Slice 57/155; Axial view; Brain
FLAIR magnetic resonance.
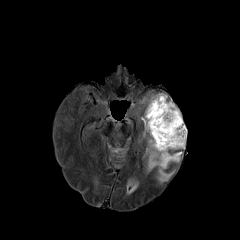
T1-weighted MRI.
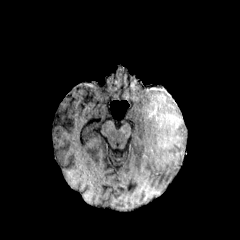
Post-contrast T1-weighted magnetic resonance.
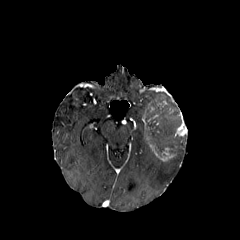
T2-weighted MR image.
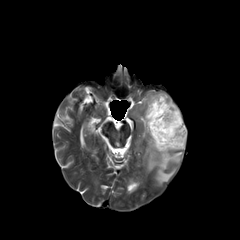
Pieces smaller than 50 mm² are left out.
The 3 largest peritumoral edema regions are bounded by {"x1": 149, "y1": 93, "x2": 167, "y2": 104}, {"x1": 145, "y1": 145, "x2": 182, "y2": 182}, {"x1": 168, "y1": 101, "x2": 178, "y2": 111}. The largest necrotic tumor core region is located at {"x1": 145, "y1": 100, "x2": 185, "y2": 155}. The 2 largest enhancing tumor regions are bounded by {"x1": 147, "y1": 136, "x2": 175, "y2": 161}, {"x1": 174, "y1": 112, "x2": 187, "y2": 136}.